Axial plane. 240x240 px.
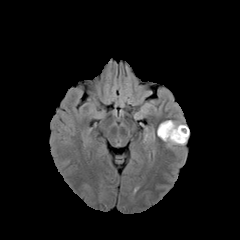
FLAIR magnetic resonance.
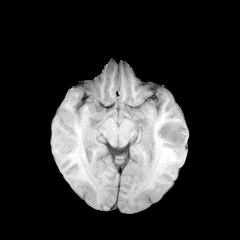
T1-weighted MRI of the same slice.
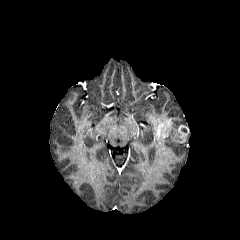
Post-contrast T1-weighted MR image of the same slice.
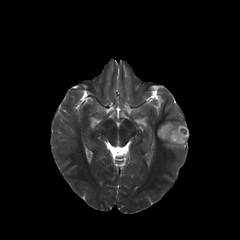
T2-weighted magnetic resonance.
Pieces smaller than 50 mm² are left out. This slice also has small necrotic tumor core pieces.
<segmentation>
  <peritumoral_edema>l=162, t=120, r=188, b=147</peritumoral_edema>
  <enhancing_tumor>l=173, t=125, r=188, b=143; l=157, t=120, r=171, b=138</enhancing_tumor>
</segmentation>